FLAIR MR.
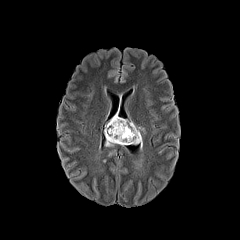
T1-weighted magnetic resonance.
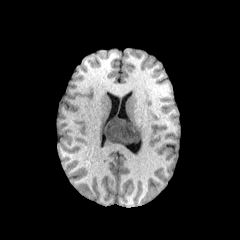
Post-contrast T1-weighted MRI.
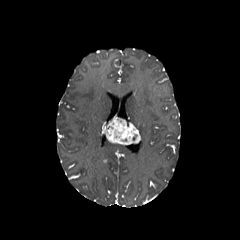
T2-weighted MR image.
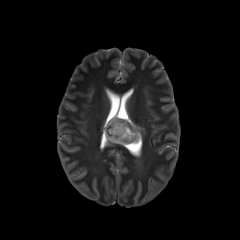
240x240
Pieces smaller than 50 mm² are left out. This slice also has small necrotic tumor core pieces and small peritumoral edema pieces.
{"enhancing_tumor": ["<box>105,116,140,144</box>"]}